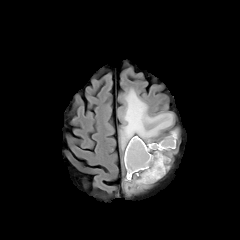
FLAIR MR.
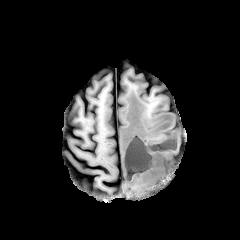
T1-weighted MR.
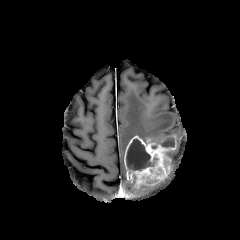
Same slice, post-contrast T1-weighted MR image.
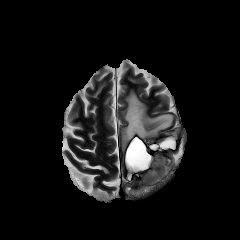
T2-weighted MR image.
Head, Axial plane
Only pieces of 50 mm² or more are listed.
Findings:
- enhancing tumor: 124,134,176,187
- necrotic tumor core: 126,139,157,170; 161,138,174,147
- peritumoral edema: 124,177,135,191; 120,90,173,150